FLAIR magnetic resonance.
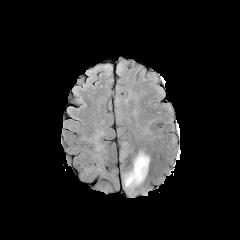
T1-weighted MR image.
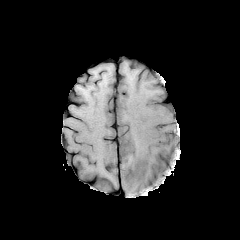
Post-contrast T1-weighted magnetic resonance.
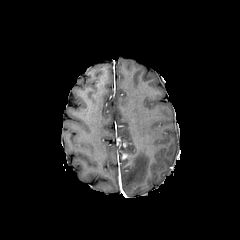
T2-weighted MRI.
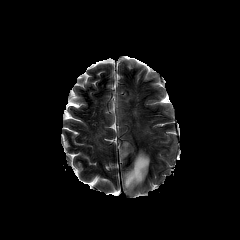
Axial view
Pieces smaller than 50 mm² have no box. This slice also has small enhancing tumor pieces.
The largest peritumoral edema region lies within box=[123, 150, 149, 194].